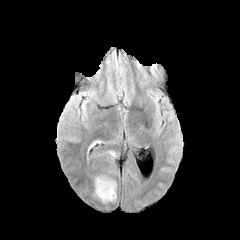
FLAIR MRI.
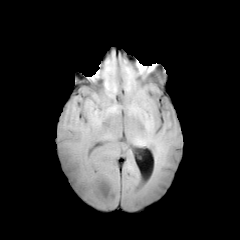
Same slice, T1-weighted MR image.
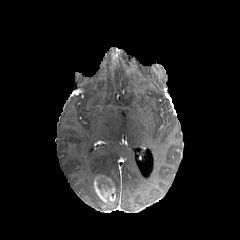
Post-contrast T1-weighted MR image.
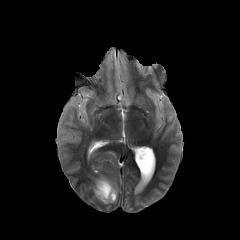
Same slice, T2-weighted MR.
Axial view
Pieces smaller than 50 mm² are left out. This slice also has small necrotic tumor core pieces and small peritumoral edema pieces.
Findings:
- enhancing tumor: [x1=94, y1=175, x2=115, y2=203]